FLAIR MR.
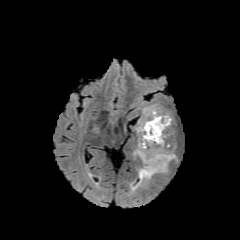
T1-weighted MR image.
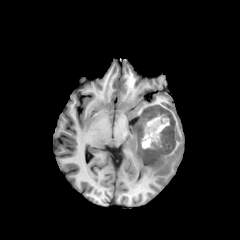
Post-contrast T1-weighted MRI.
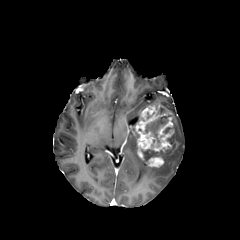
T2-weighted MR image.
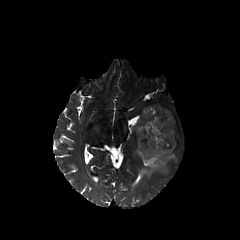
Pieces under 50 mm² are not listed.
The largest enhancing tumor region appears at box(134, 105, 174, 167). The 2 largest necrotic tumor core regions appear at box(144, 115, 170, 146); box(142, 149, 163, 161). The largest peritumoral edema region lies within box(134, 150, 177, 188).